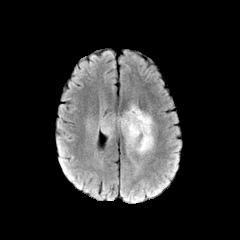
FLAIR MRI.
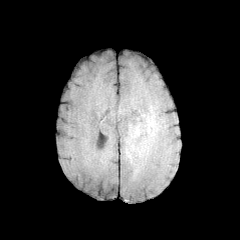
T1-weighted MR of the same slice.
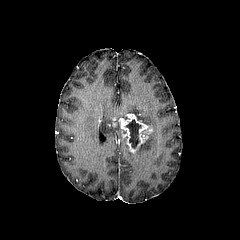
Same slice, post-contrast T1-weighted magnetic resonance.
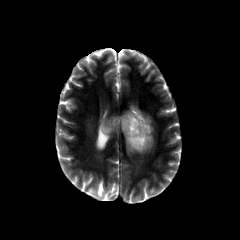
T2-weighted MR image.
Brain; 240x240
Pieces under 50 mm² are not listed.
enhancing tumor: bounding box 118 113 152 153
peritumoral edema: bounding box 122 105 152 127, 136 132 153 153, 100 117 114 137
necrotic tumor core: bounding box 126 120 141 148